240x240 px. Head. Axial view.
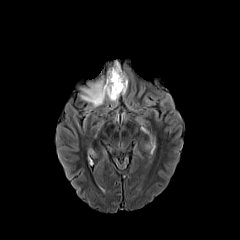
FLAIR MRI.
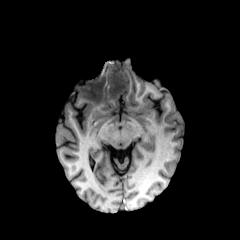
T1-weighted MR image of the same slice.
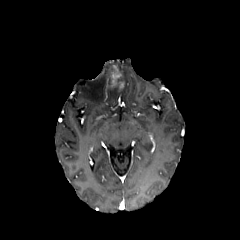
Same slice, post-contrast T1-weighted MR image.
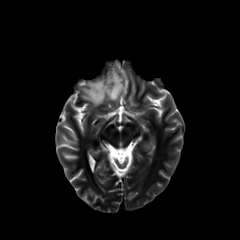
T2-weighted MR.
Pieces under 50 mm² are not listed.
Findings:
• peritumoral edema: (80,61,128,110)
• enhancing tumor: (107,65,124,90)